Image width 240 mm | Axial plane | Head
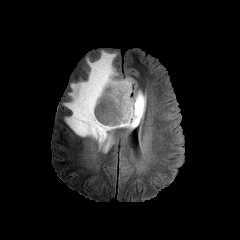
FLAIR magnetic resonance.
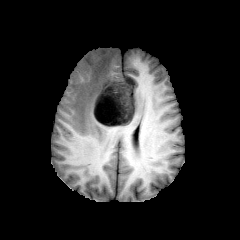
T1-weighted MRI.
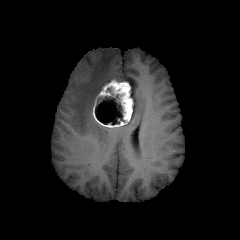
Post-contrast T1-weighted magnetic resonance of the same slice.
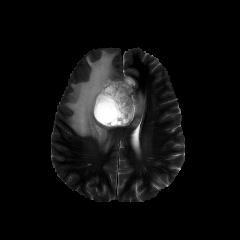
T2-weighted magnetic resonance of the same slice.
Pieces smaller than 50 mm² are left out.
peritumoral_edema:
  - l=63, t=50, r=146, b=152
enhancing_tumor:
  - l=92, t=79, r=133, b=127
necrotic_tumor_core:
  - l=95, t=96, r=124, b=124